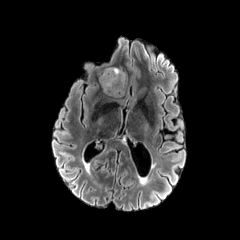
FLAIR magnetic resonance.
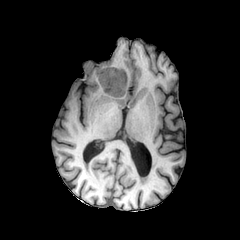
T1-weighted MR.
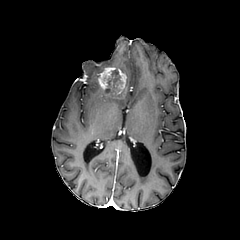
Post-contrast T1-weighted magnetic resonance of the same slice.
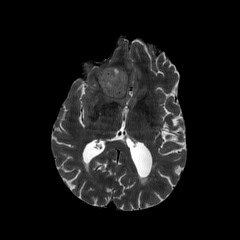
T2-weighted MRI of the same slice.
Head
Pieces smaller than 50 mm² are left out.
{"necrotic_tumor_core": ["region(105, 69, 119, 91)"], "peritumoral_edema": ["region(103, 90, 125, 96)"], "enhancing_tumor": ["region(98, 67, 126, 94)"]}